FLAIR MR.
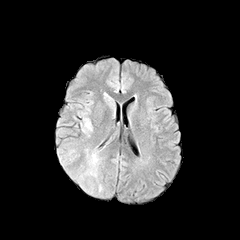
T1-weighted MR.
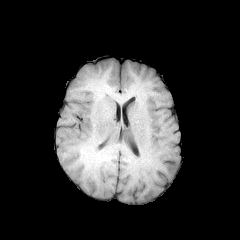
Post-contrast T1-weighted magnetic resonance.
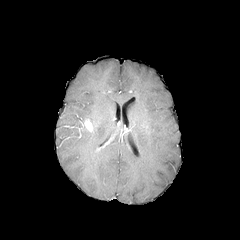
T2-weighted magnetic resonance.
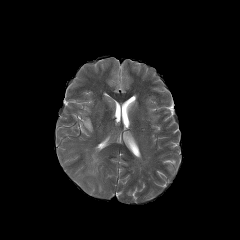
Head | Image size 240x240 | Axial plane
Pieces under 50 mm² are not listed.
peritumoral edema: (82,153,97,177), (80,113,91,135) | enhancing tumor: (82,119,92,131)